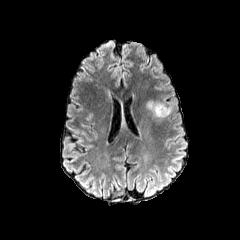
FLAIR MR image.
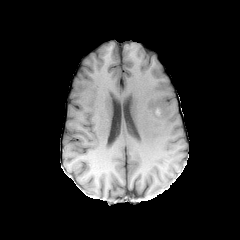
T1-weighted magnetic resonance of the same slice.
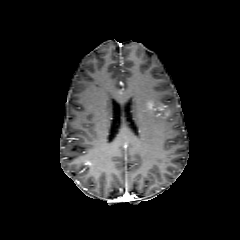
Post-contrast T1-weighted MR image of the same slice.
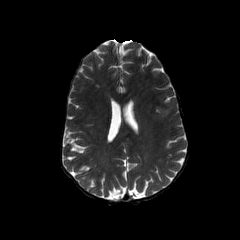
T2-weighted MRI of the same slice.
240x240 px. Head.
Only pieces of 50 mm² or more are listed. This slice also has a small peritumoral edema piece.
<segmentation>
  <enhancing_tumor>l=146, t=98, r=170, b=118</enhancing_tumor>
</segmentation>